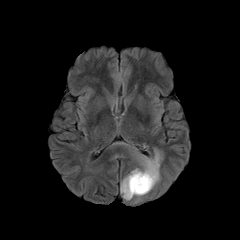
FLAIR magnetic resonance.
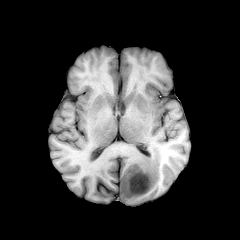
Same slice, T1-weighted MR image.
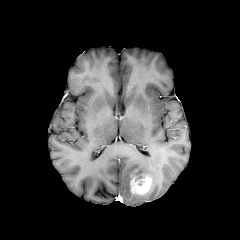
Same slice, post-contrast T1-weighted magnetic resonance.
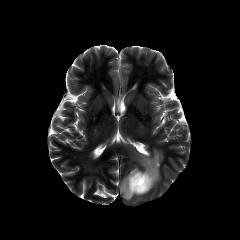
T2-weighted MR image of the same slice.
240x240 px. Brain.
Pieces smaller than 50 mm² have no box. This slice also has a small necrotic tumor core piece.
enhancing tumor at (130,174,152,194)
peritumoral edema at (120,149,162,201)